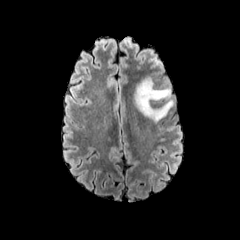
FLAIR magnetic resonance.
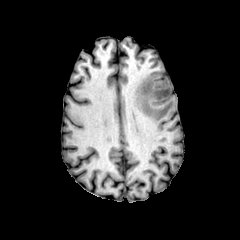
T1-weighted MR image.
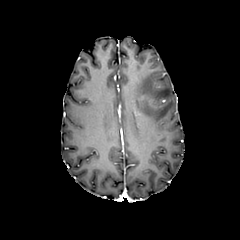
Post-contrast T1-weighted magnetic resonance.
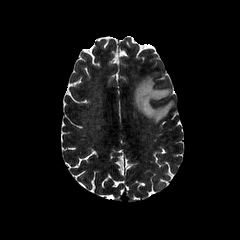
T2-weighted MR.
Head.
The peritumoral edema is located at left=134, top=77, right=174, bottom=122.